Head
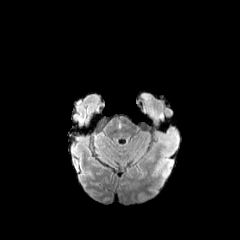
FLAIR magnetic resonance.
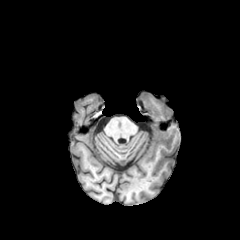
T1-weighted magnetic resonance of the same slice.
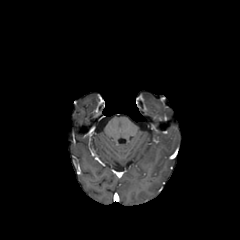
Post-contrast T1-weighted MR.
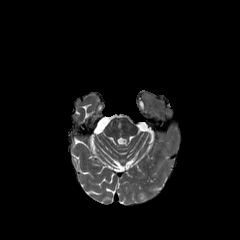
T2-weighted MR image.
Segmented structures:
* peritumoral edema: 141, 92, 154, 99